FLAIR magnetic resonance.
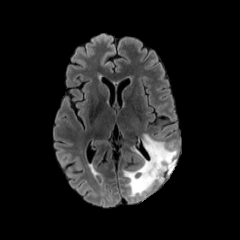
T1-weighted MRI.
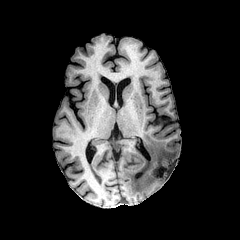
Post-contrast T1-weighted MR image.
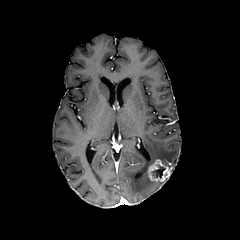
T2-weighted MRI.
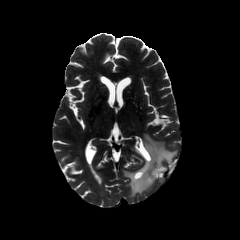
Axial view
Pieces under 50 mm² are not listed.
enhancing tumor: (x1=147, y1=159, x2=173, y2=181) | necrotic tumor core: (x1=152, y1=165, x2=165, y2=177) | peritumoral edema: (x1=123, y1=134, x2=177, y2=197)